Axial plane; 240x240
FLAIR MRI.
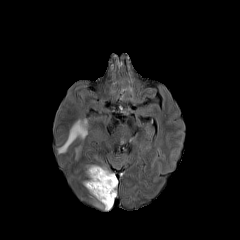
T1-weighted MR.
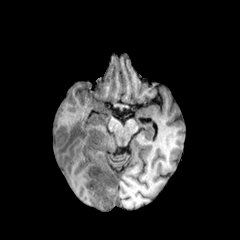
Post-contrast T1-weighted magnetic resonance.
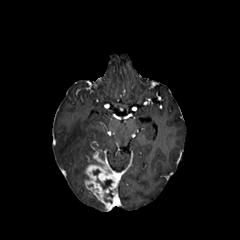
T2-weighted MR image.
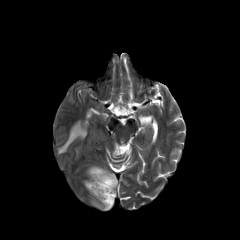
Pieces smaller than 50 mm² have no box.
peritumoral edema = bbox(58, 119, 87, 153)
enhancing tumor = bbox(84, 152, 118, 210)
necrotic tumor core = bbox(101, 180, 112, 189)